Slice 107 of 155; Axial plane; Image width 240 mm; Head
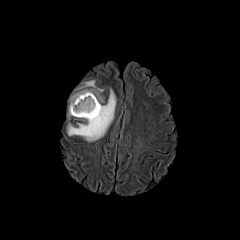
FLAIR MRI.
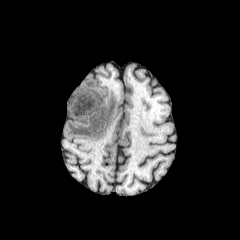
Same slice, T1-weighted MR.
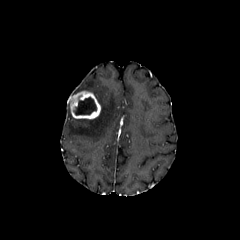
Same slice, post-contrast T1-weighted magnetic resonance.
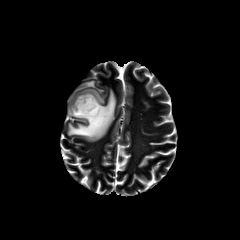
T2-weighted MR of the same slice.
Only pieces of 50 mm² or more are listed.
<segmentation>
  <peritumoral_edema>{"x1": 67, "y1": 80, "x2": 116, "y2": 141}</peritumoral_edema>
  <enhancing_tumor>{"x1": 69, "y1": 90, "x2": 101, "y2": 119}</enhancing_tumor>
  <necrotic_tumor_core>{"x1": 74, "y1": 97, "x2": 96, "y2": 115}</necrotic_tumor_core>
</segmentation>